FLAIR MRI.
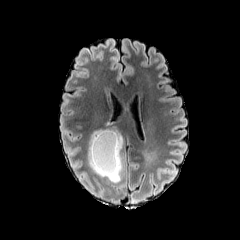
T1-weighted MRI.
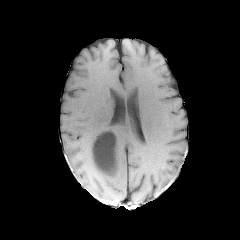
Post-contrast T1-weighted MRI.
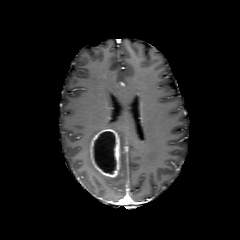
T2-weighted MR.
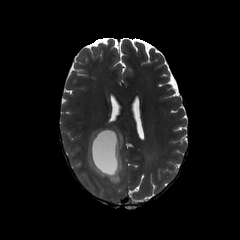
Image size 240x240, Axial view
<segmentation>
  <enhancing_tumor>[90,129,119,177]</enhancing_tumor>
  <necrotic_tumor_core>[93,131,115,173]</necrotic_tumor_core>
  <peritumoral_edema>[88,128,123,183]</peritumoral_edema>
</segmentation>